FLAIR MR image.
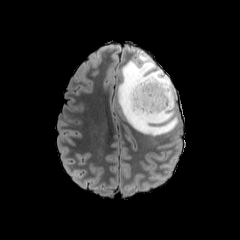
T1-weighted MRI.
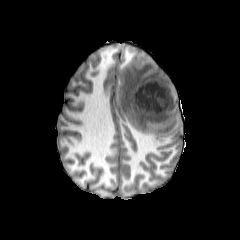
Post-contrast T1-weighted MR image.
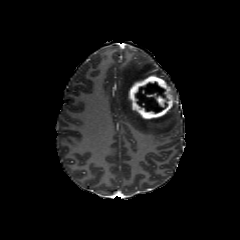
T2-weighted MR.
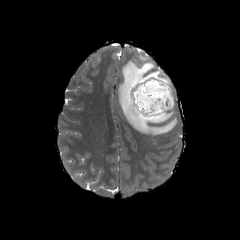
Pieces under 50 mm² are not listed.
peritumoral_edema:
  - <bbox>117, 49, 178, 136</bbox>
necrotic_tumor_core:
  - <bbox>135, 82, 168, 113</bbox>
enhancing_tumor:
  - <bbox>127, 75, 173, 119</bbox>